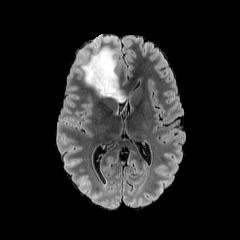
FLAIR magnetic resonance.
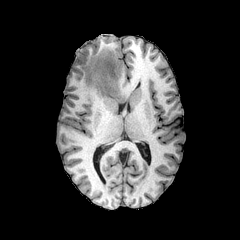
T1-weighted MR.
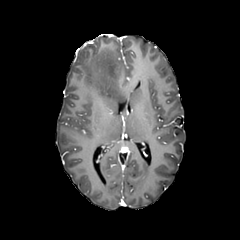
Post-contrast T1-weighted MR image.
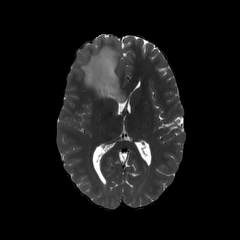
T2-weighted MR image of the same slice.
Brain
peritumoral_edema:
  - (x1=81, y1=47, x2=124, y2=102)